Image width 240 mm, 1.00 mm slice spacing, Head
FLAIR magnetic resonance.
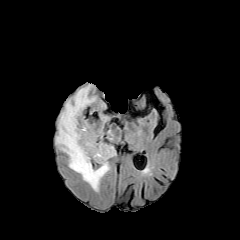
T1-weighted MR.
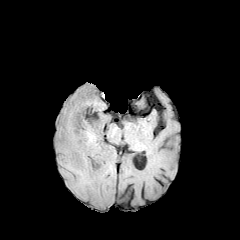
Post-contrast T1-weighted MRI.
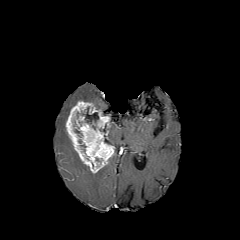
T2-weighted magnetic resonance.
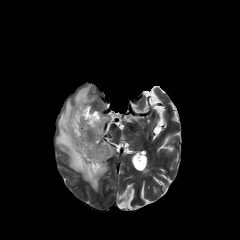
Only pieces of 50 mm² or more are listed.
necrotic_tumor_core:
  - <box>82,107,98,123</box>
peritumoral_edema:
  - <box>55,84,109,191</box>
enhancing_tumor:
  - <box>65,101,114,173</box>